Image width 240 mm, 1.00 mm slice spacing. Axial plane. Image size 240x240.
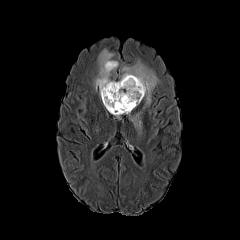
FLAIR magnetic resonance.
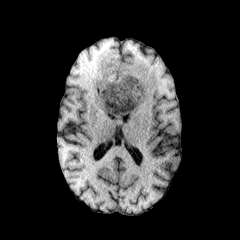
T1-weighted MR of the same slice.
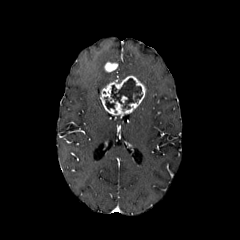
Post-contrast T1-weighted MR.
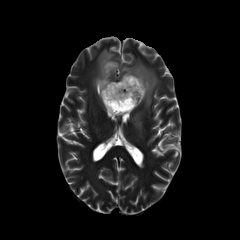
T2-weighted magnetic resonance of the same slice.
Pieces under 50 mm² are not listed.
• peritumoral edema: 131,113,141,132; 118,61,158,106; 94,49,117,93
• enhancing tumor: 104,62,117,72; 100,75,146,115
• necrotic tumor core: 104,97,114,109; 111,78,142,108